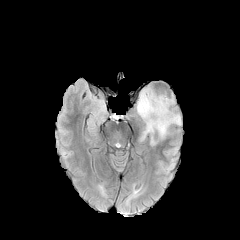
FLAIR MR image.
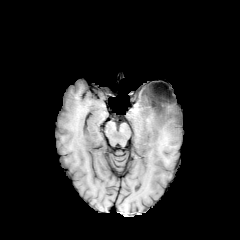
T1-weighted magnetic resonance.
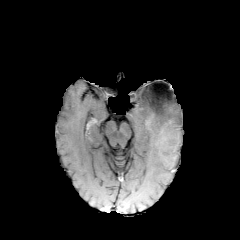
Same slice, post-contrast T1-weighted MR image.
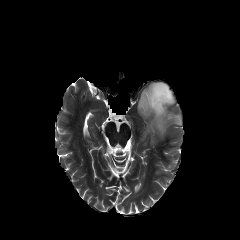
T2-weighted MR of the same slice.
Image size 240x240
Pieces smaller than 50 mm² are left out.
peritumoral_edema:
  - bbox(137, 87, 181, 144)
necrotic_tumor_core:
  - bbox(144, 83, 172, 115)